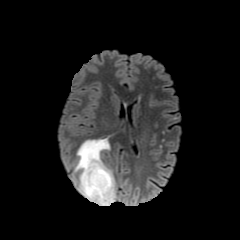
FLAIR MR image.
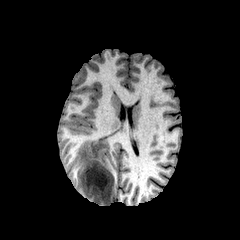
T1-weighted MR image.
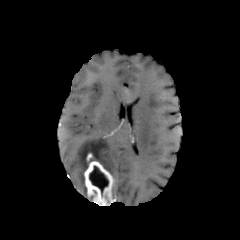
Post-contrast T1-weighted MRI.
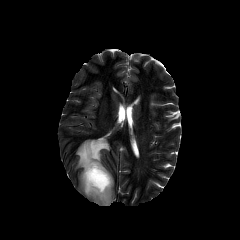
T2-weighted MR of the same slice.
Image size 240x240; Head
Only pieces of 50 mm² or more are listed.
- peritumoral edema: <box>75,138,112,198</box>
- enhancing tumor: <box>84,153,115,205</box>
- necrotic tumor core: <box>89,164,108,194</box>